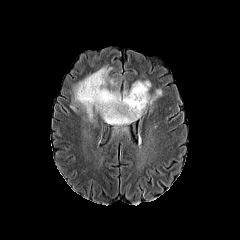
FLAIR magnetic resonance.
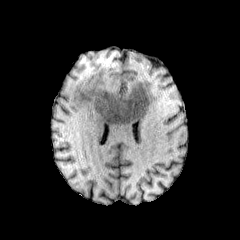
T1-weighted MR.
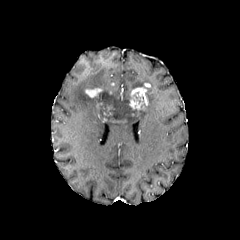
Same slice, post-contrast T1-weighted magnetic resonance.
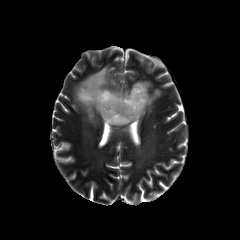
T2-weighted MR image.
240x240 | Brain | Axial view
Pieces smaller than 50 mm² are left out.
The 2 largest peritumoral edema regions are located at 106 88 161 131, 74 66 150 121. The 2 largest enhancing tumor regions are bounded by 85 88 102 97, 129 87 148 110. The largest necrotic tumor core region is at 96 96 139 122.